FLAIR MR image.
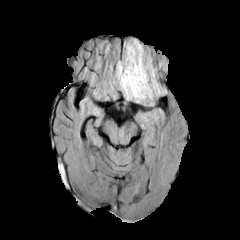
T1-weighted MR.
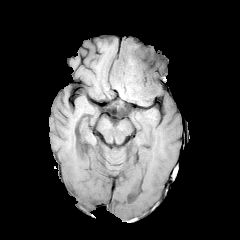
Post-contrast T1-weighted MRI.
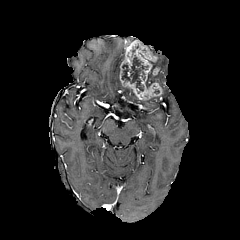
T2-weighted magnetic resonance.
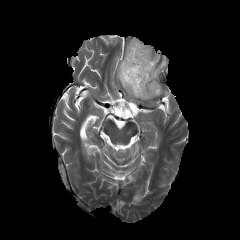
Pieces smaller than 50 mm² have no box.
enhancing tumor at (119,40,162,100)
necrotic tumor core at (122,57,147,90)
peritumoral edema at (146,61,157,87), (116,61,141,101)